Axial plane
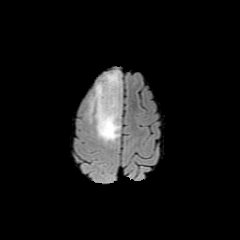
FLAIR MR.
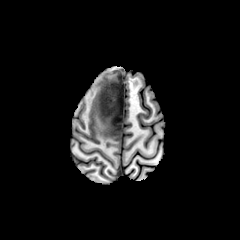
T1-weighted MRI of the same slice.
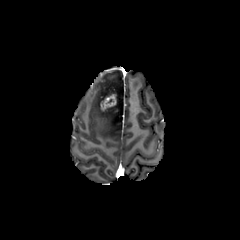
Same slice, post-contrast T1-weighted MRI.
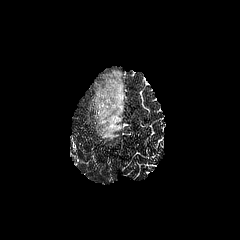
T2-weighted MR.
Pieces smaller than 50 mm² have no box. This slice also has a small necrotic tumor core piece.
peritumoral edema — bbox(88, 70, 122, 142)
enhancing tumor — bbox(100, 94, 116, 110)